FLAIR magnetic resonance.
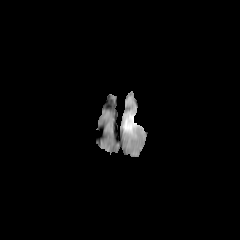
T1-weighted MRI.
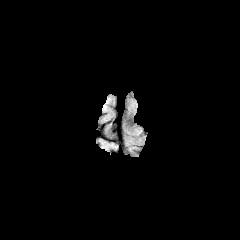
Post-contrast T1-weighted MRI.
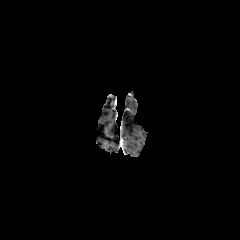
T2-weighted magnetic resonance.
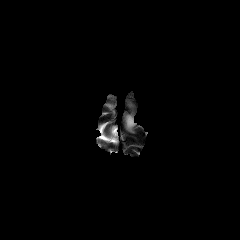
Axial plane. 240x240 px.
peritumoral edema: bounding box (124, 113, 136, 132)